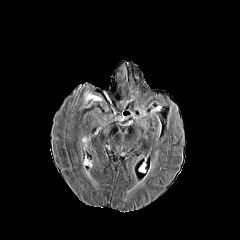
FLAIR magnetic resonance.
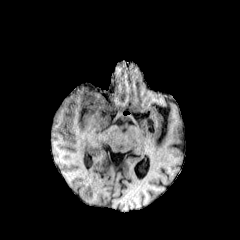
T1-weighted MRI of the same slice.
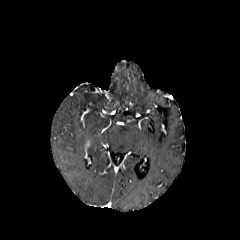
Post-contrast T1-weighted magnetic resonance.
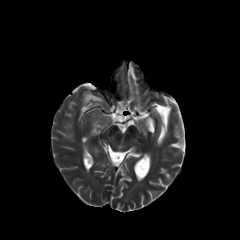
T2-weighted MR image.
240x240 px. Head.
The peritumoral edema lies within l=85, t=93, r=102, b=101.